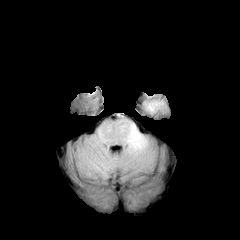
FLAIR MR.
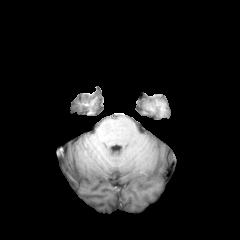
T1-weighted MR.
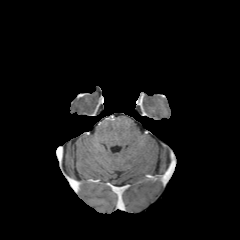
Same slice, post-contrast T1-weighted MRI.
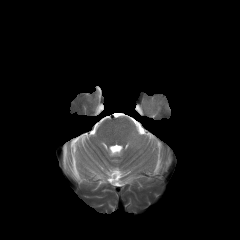
T2-weighted magnetic resonance of the same slice.
Head | Axial view
<segmentation>
  <peritumoral_edema>left=145, top=102, right=159, bottom=111</peritumoral_edema>
</segmentation>